FLAIR MR.
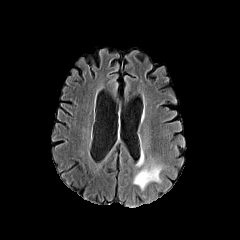
T1-weighted MR image.
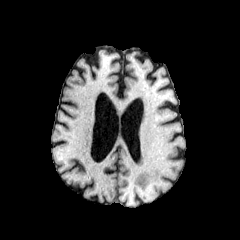
Post-contrast T1-weighted MRI.
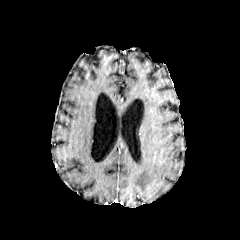
T2-weighted MRI.
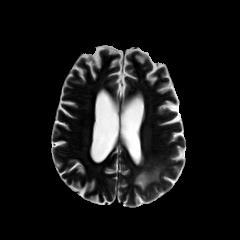
Image size 240x240
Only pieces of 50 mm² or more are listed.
The largest peritumoral edema region appears at [134, 166, 161, 188].